Axial view, Slice 76/155, Brain
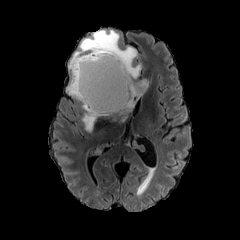
FLAIR MR.
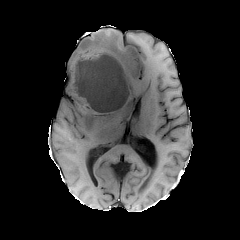
T1-weighted magnetic resonance.
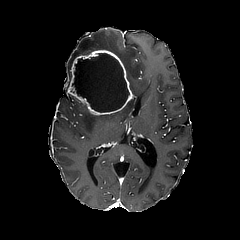
Post-contrast T1-weighted MR image.
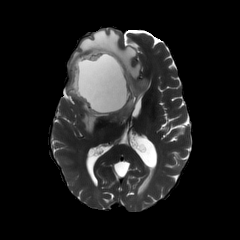
T2-weighted MR.
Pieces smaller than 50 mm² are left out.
The necrotic tumor core is bounded by (73, 53, 128, 112). The enhancing tumor lies within (68, 49, 133, 115). The 2 largest peritumoral edema regions are located at (68, 29, 147, 115), (81, 104, 110, 131).